FLAIR MR image.
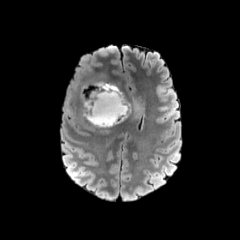
T1-weighted MRI.
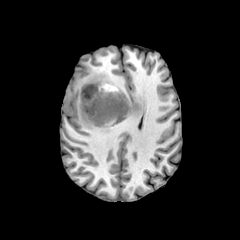
Post-contrast T1-weighted MR.
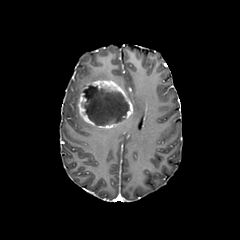
T2-weighted MRI.
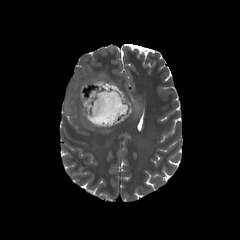
Axial slice. 240x240.
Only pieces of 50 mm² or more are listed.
The enhancing tumor is located at 77 80 136 128. The largest peritumoral edema region appears at 130 96 144 119. The necrotic tumor core lies within 82 85 129 125.